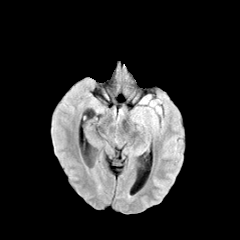
FLAIR MRI.
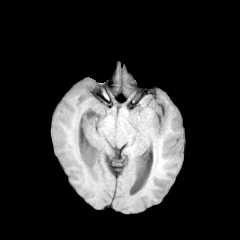
T1-weighted MRI.
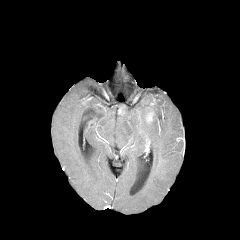
Same slice, post-contrast T1-weighted MR image.
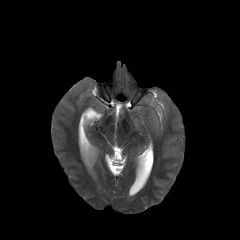
T2-weighted magnetic resonance of the same slice.
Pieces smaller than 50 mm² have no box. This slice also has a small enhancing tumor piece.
peritumoral edema = <box>149,101,161,113</box>, <box>140,108,156,124</box>